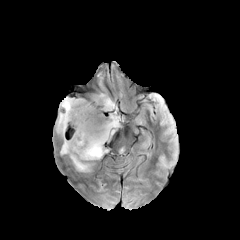
FLAIR MR image.
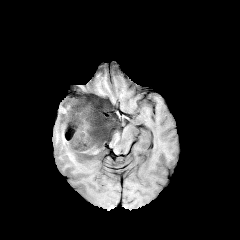
Same slice, T1-weighted MR image.
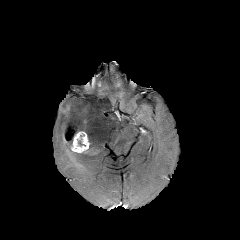
Same slice, post-contrast T1-weighted magnetic resonance.
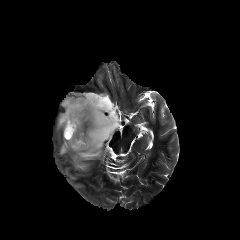
Same slice, T2-weighted MR.
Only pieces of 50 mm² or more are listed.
{"enhancing_tumor": ["63:126:89:152"], "necrotic_tumor_core": ["64:127:76:139"], "peritumoral_edema": ["56:93:120:171"]}